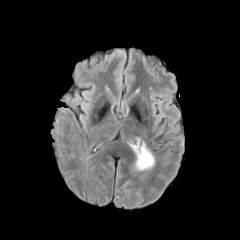
FLAIR MR.
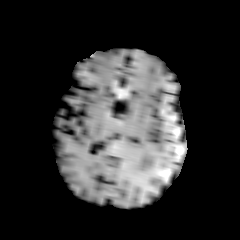
Same slice, T1-weighted MR.
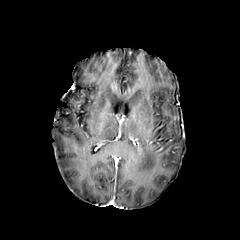
Same slice, post-contrast T1-weighted MR image.
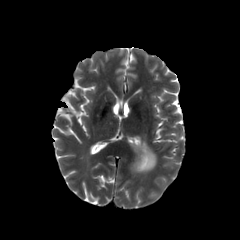
T2-weighted MR.
Brain. Axial plane.
enhancing tumor at <box>136,146,142,155</box>
peritumoral edema at <box>129,139,156,172</box>